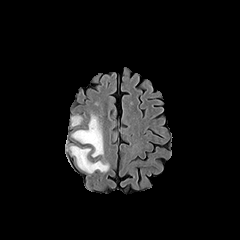
FLAIR magnetic resonance.
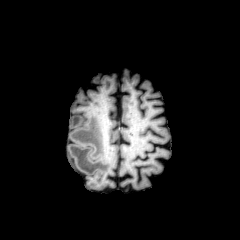
Same slice, T1-weighted MR image.
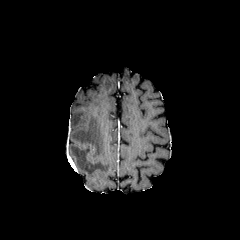
Same slice, post-contrast T1-weighted MR image.
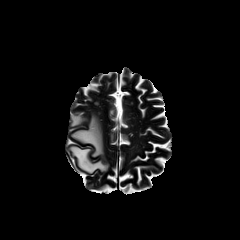
T2-weighted MRI.
Axial view; Image size 240x240
peritumoral edema at 71,115,82,126; 71,114,103,157; 70,146,109,173